FLAIR MR image.
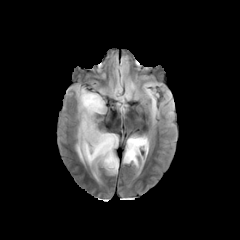
T1-weighted MR.
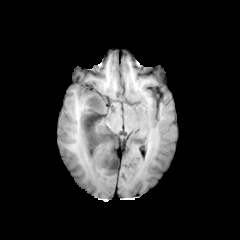
Post-contrast T1-weighted magnetic resonance.
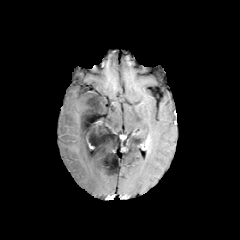
T2-weighted magnetic resonance.
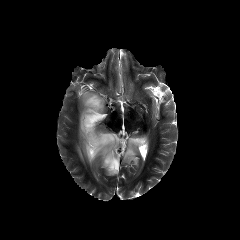
Axial view
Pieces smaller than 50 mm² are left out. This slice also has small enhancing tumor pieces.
Findings:
* peritumoral edema: (76,89,118,174), (123,136,147,166)
* necrotic tumor core: (82,97,115,152), (104,152,118,171)